FLAIR MR image.
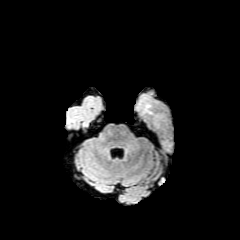
T1-weighted MRI.
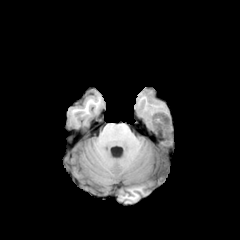
Post-contrast T1-weighted MR image.
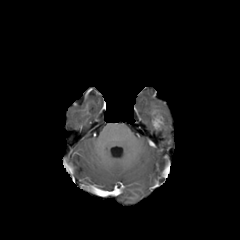
T2-weighted MRI.
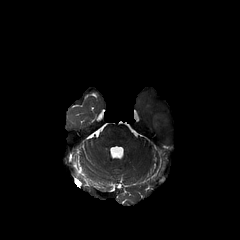
Axial slice.
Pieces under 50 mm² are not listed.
Annotated regions:
* enhancing tumor: rect(152, 115, 162, 129)